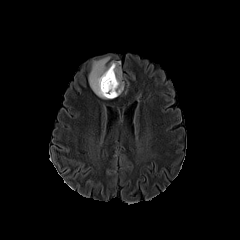
FLAIR MRI.
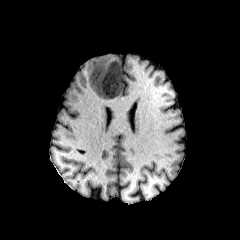
T1-weighted MR image.
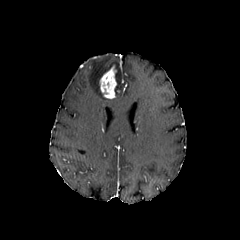
Same slice, post-contrast T1-weighted MR.
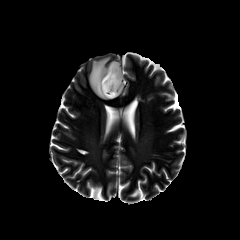
T2-weighted MR image of the same slice.
peritumoral edema — <box>88,56,123,99</box>
enhancing tumor — <box>99,65,117,98</box>